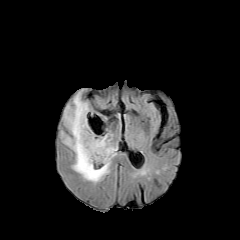
FLAIR MRI.
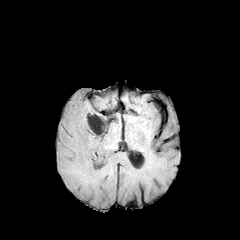
T1-weighted MR.
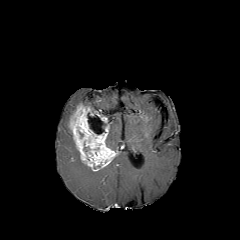
Post-contrast T1-weighted magnetic resonance of the same slice.
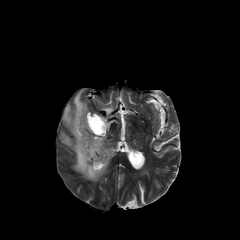
Same slice, T2-weighted MRI.
240x240
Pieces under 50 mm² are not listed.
enhancing tumor at rect(68, 103, 117, 171)
necrotic tumor core at rect(87, 113, 105, 134)
peritumoral edema at rect(106, 136, 117, 150); rect(62, 89, 88, 135); rect(61, 131, 110, 182)